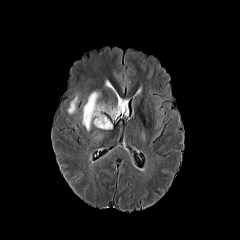
FLAIR magnetic resonance.
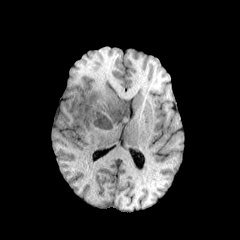
T1-weighted MRI.
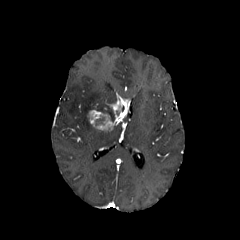
Post-contrast T1-weighted MR image.
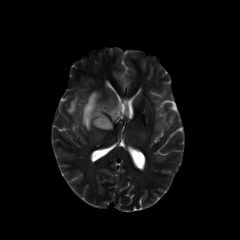
T2-weighted MR image.
240x240; Head
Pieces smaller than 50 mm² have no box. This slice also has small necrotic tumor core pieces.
<segmentation>
  <enhancing_tumor>87 93 123 130, 124 99 129 117</enhancing_tumor>
  <peritumoral_edema>67 94 77 114, 97 104 114 121, 82 91 99 131</peritumoral_edema>
</segmentation>